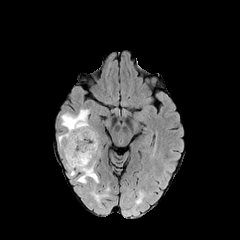
FLAIR magnetic resonance.
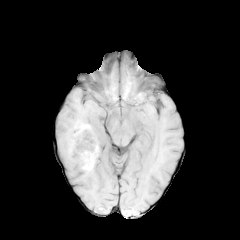
T1-weighted MRI.
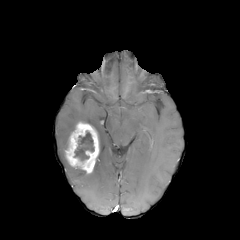
Post-contrast T1-weighted MR.
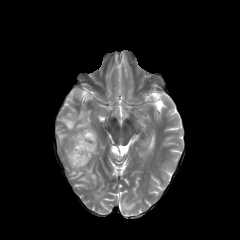
T2-weighted MRI.
Head
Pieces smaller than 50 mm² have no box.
necrotic tumor core = bbox=[74, 131, 94, 160]
enhancing tumor = bbox=[65, 122, 99, 173]
peritumoral edema = bbox=[58, 108, 92, 152]; bbox=[67, 161, 105, 201]